Axial plane. Head.
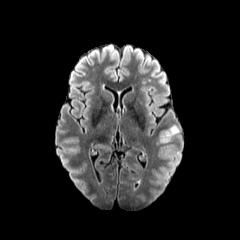
FLAIR magnetic resonance.
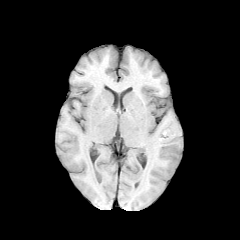
T1-weighted magnetic resonance.
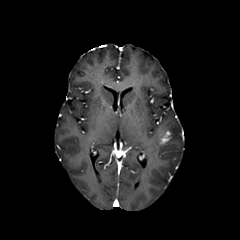
Post-contrast T1-weighted MR.
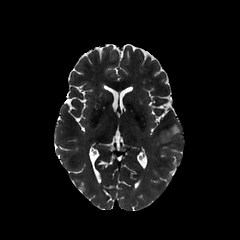
T2-weighted MR.
enhancing tumor at <box>160,131,170,143</box>
peritumoral edema at <box>159,125,179,143</box>